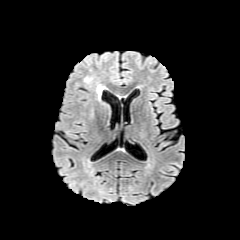
FLAIR MR.
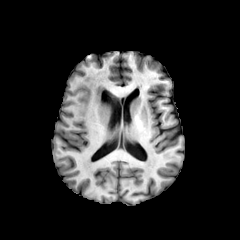
T1-weighted MRI of the same slice.
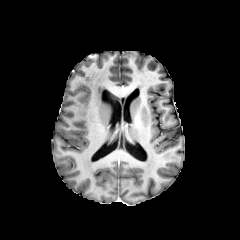
Post-contrast T1-weighted MR.
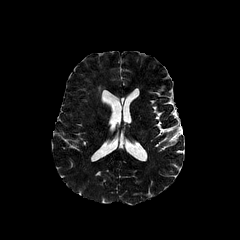
T2-weighted magnetic resonance of the same slice.
240x240 px
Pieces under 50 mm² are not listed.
<segmentation>
  <peritumoral_edema>left=96, top=84, right=103, bottom=98</peritumoral_edema>
</segmentation>